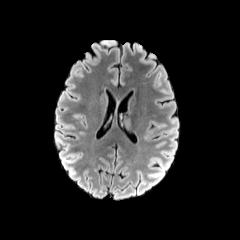
FLAIR MRI.
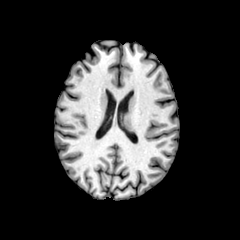
T1-weighted magnetic resonance.
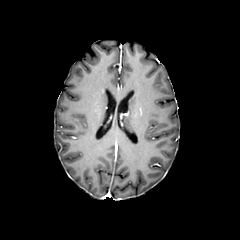
Post-contrast T1-weighted MR image.
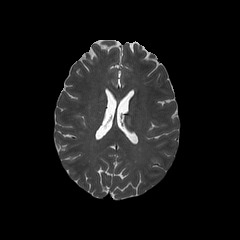
T2-weighted MR image.
Axial slice; Head
<segmentation>
  <peritumoral_edema>[x1=121, y1=115, x2=133, y2=134]</peritumoral_edema>
</segmentation>